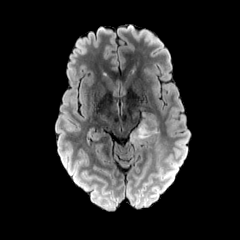
FLAIR MR image.
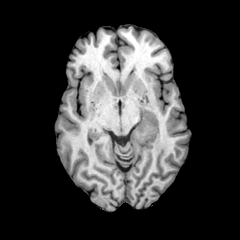
Same slice, T1-weighted MRI.
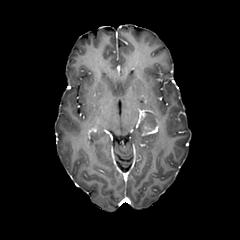
Post-contrast T1-weighted MRI.
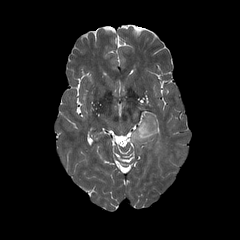
T2-weighted MR.
240x240 | Axial view
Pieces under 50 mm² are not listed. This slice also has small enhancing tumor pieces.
The peritumoral edema lies within left=131, top=113, right=158, bottom=143.